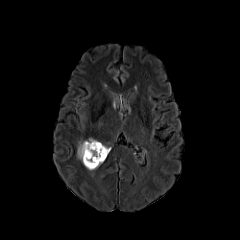
FLAIR MR.
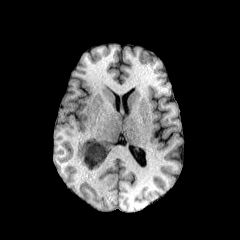
Same slice, T1-weighted magnetic resonance.
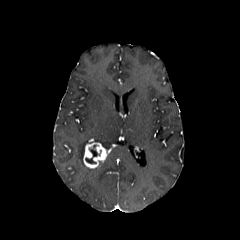
Post-contrast T1-weighted MR image.
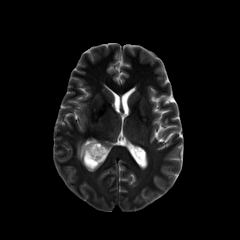
T2-weighted MR image of the same slice.
240x240. Brain.
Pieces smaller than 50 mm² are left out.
enhancing tumor: 83 139 110 168 | necrotic tumor core: 85 145 99 163 | peritumoral edema: 77 140 88 163